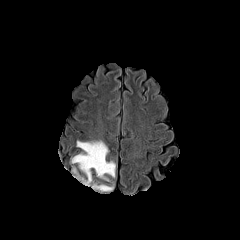
FLAIR MR.
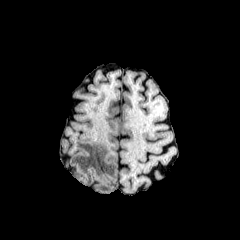
Same slice, T1-weighted magnetic resonance.
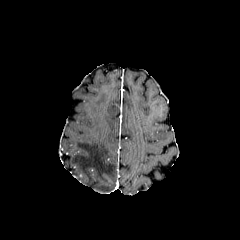
Post-contrast T1-weighted MR.
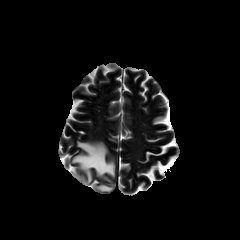
T2-weighted magnetic resonance.
Axial view
<segmentation>
  <peritumoral_edema>region(71, 141, 115, 185); region(92, 184, 113, 191)</peritumoral_edema>
</segmentation>